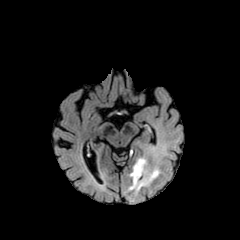
FLAIR MRI.
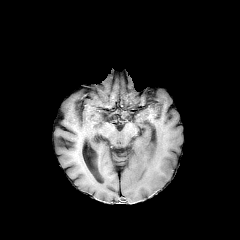
T1-weighted MR image.
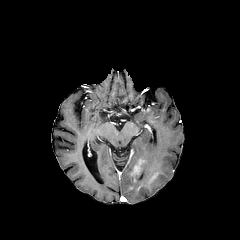
Post-contrast T1-weighted MR image.
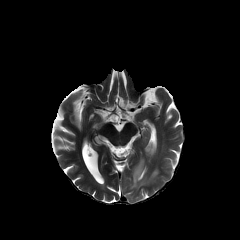
Same slice, T2-weighted MR image.
Axial slice, Brain
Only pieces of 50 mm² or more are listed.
enhancing_tumor:
  - box=[133, 161, 141, 174]
peritumoral_edema:
  - box=[128, 158, 153, 191]